Image width 240 mm, 1.00 mm slice spacing. Axial view.
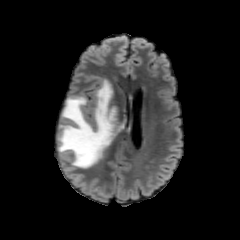
FLAIR MR.
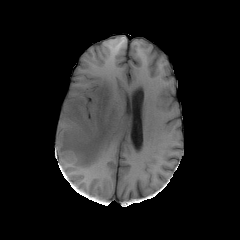
T1-weighted MRI of the same slice.
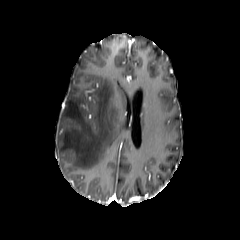
Post-contrast T1-weighted MR.
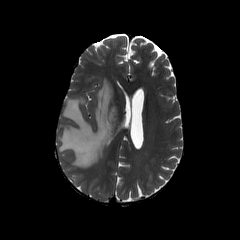
T2-weighted MR of the same slice.
peritumoral edema = <bbox>58, 79, 122, 168</bbox>